FLAIR MR.
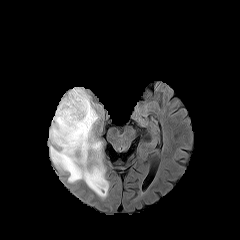
T1-weighted MR image.
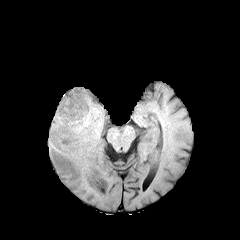
Post-contrast T1-weighted magnetic resonance.
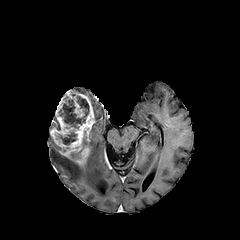
T2-weighted MRI.
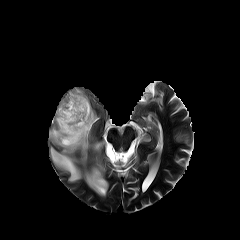
240x240 px.
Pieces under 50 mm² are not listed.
Segmented structures:
- necrotic tumor core: region(59, 96, 88, 128); region(59, 132, 76, 144)
- peritumoral edema: region(71, 87, 90, 100); region(50, 101, 108, 197); region(51, 116, 60, 130)
- enhancing tumor: region(50, 90, 95, 166)